Axial plane, Brain, 240x240, Image width 240 mm, 1.00 mm slice spacing, Slice 54/155
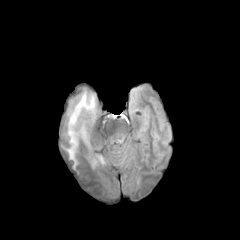
FLAIR MR.
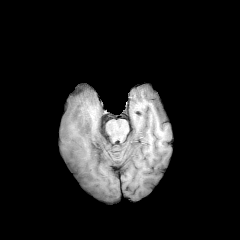
T1-weighted MR.
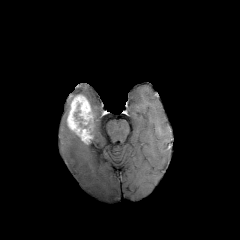
Same slice, post-contrast T1-weighted MR.
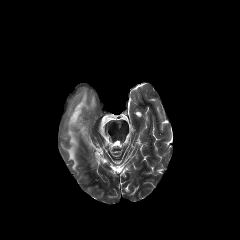
Same slice, T2-weighted MRI.
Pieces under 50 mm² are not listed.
necrotic_tumor_core:
  - 74, 110, 82, 120
enhancing_tumor:
  - 67, 95, 91, 143
peritumoral_edema:
  - 63, 120, 80, 168
  - 79, 89, 96, 127